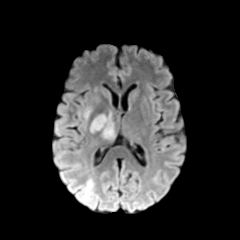
FLAIR MR.
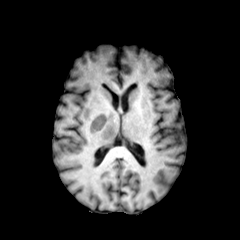
Same slice, T1-weighted MRI.
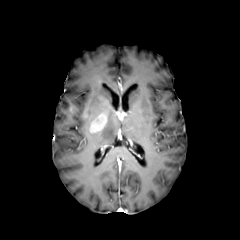
Post-contrast T1-weighted MR image.
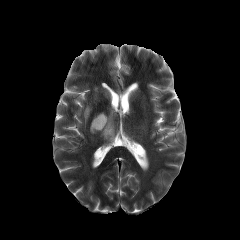
T2-weighted MR of the same slice.
Head | 240x240 | Axial slice
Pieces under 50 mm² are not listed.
enhancing tumor — 90,114,106,132
peritumoral edema — 101,113,114,139